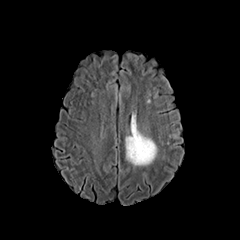
FLAIR MR.
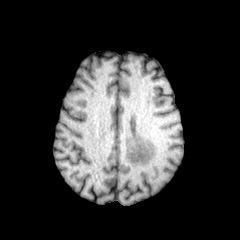
T1-weighted magnetic resonance.
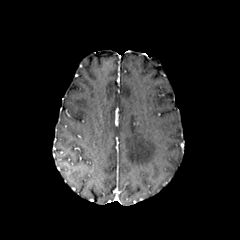
Post-contrast T1-weighted MR image.
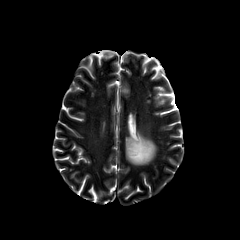
T2-weighted magnetic resonance of the same slice.
Head
peritumoral edema: (x1=125, y1=114, x2=157, y2=165)